FLAIR MR.
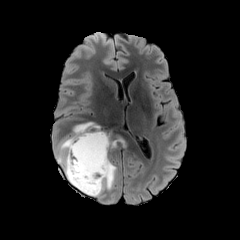
T1-weighted MR image.
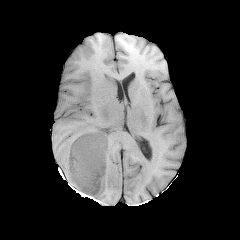
Post-contrast T1-weighted magnetic resonance.
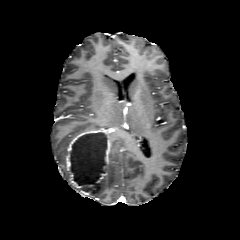
T2-weighted magnetic resonance.
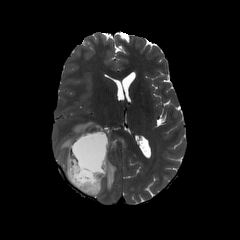
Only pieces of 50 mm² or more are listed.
{"peritumoral_edema": ["[94,160,116,196]", "[56,122,99,179]"], "necrotic_tumor_core": ["[70,133,107,193]"], "enhancing_tumor": ["[97,139,110,182]", "[65,130,102,197]"]}